Slice index 43, Axial plane
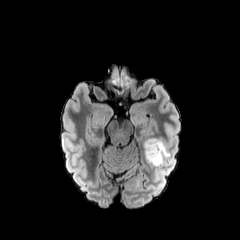
FLAIR MR.
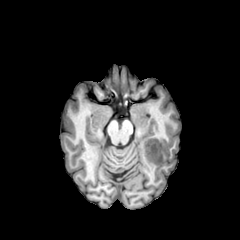
T1-weighted magnetic resonance.
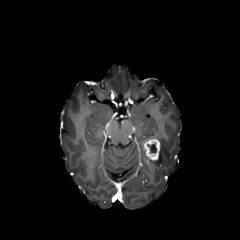
Post-contrast T1-weighted magnetic resonance.
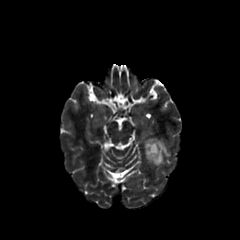
Same slice, T2-weighted MR image.
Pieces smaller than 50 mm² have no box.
peritumoral edema: left=144, top=138, right=170, bottom=166 | necrotic tumor core: left=147, top=144, right=156, bottom=152 | enhancing tumor: left=143, top=138, right=160, bottom=160